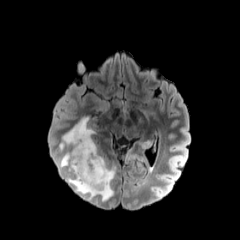
FLAIR MR.
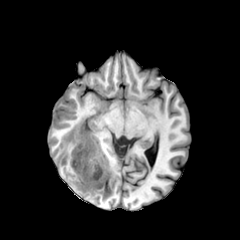
T1-weighted MR image.
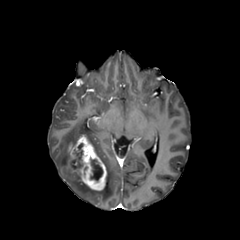
Same slice, post-contrast T1-weighted MR image.
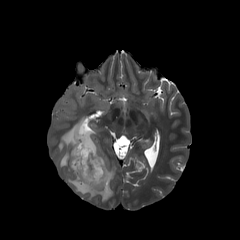
Same slice, T2-weighted MRI.
Head; 240x240 px; Axial view
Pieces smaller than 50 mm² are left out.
The enhancing tumor appears at x1=70 y1=135 x2=107 y2=190. The 2 largest necrotic tumor core regions are bounded by x1=73 y1=143 x2=83 y2=160, x1=90 y1=158 x2=103 y2=180. The largest peritumoral edema region is located at x1=59 y1=117 x2=116 y2=201.